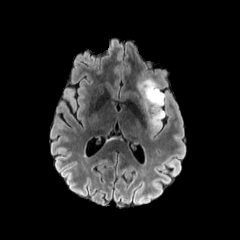
FLAIR magnetic resonance.
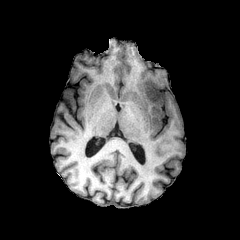
T1-weighted MRI of the same slice.
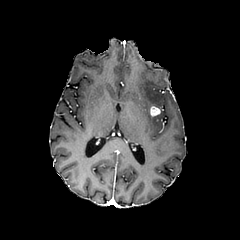
Post-contrast T1-weighted MR.
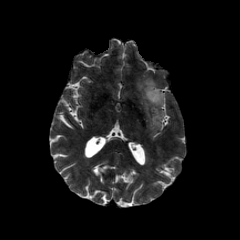
Same slice, T2-weighted MR image.
240x240 px
The enhancing tumor is at <bbox>150, 106, 160, 116</bbox>. The peritumoral edema is located at <bbox>137, 78, 165, 131</bbox>.